FLAIR magnetic resonance.
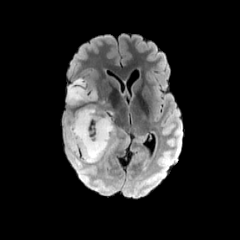
T1-weighted magnetic resonance.
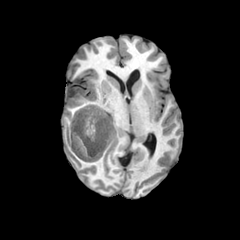
Post-contrast T1-weighted MR.
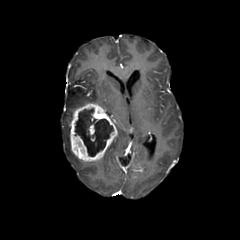
T2-weighted MRI.
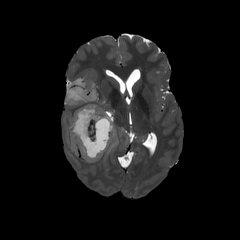
Image size 240x240; Axial view
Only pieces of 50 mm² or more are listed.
The largest enhancing tumor region is located at [70, 103, 117, 161]. The largest peritumoral edema region lies within [67, 78, 97, 104]. The necrotic tumor core appears at [75, 109, 113, 156].